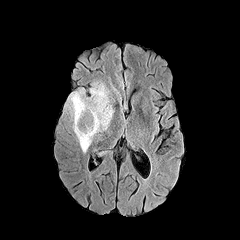
FLAIR magnetic resonance.
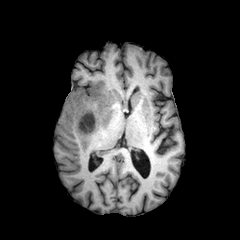
Same slice, T1-weighted magnetic resonance.
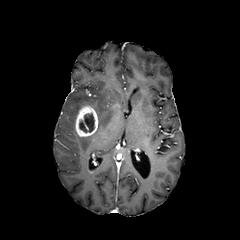
Post-contrast T1-weighted magnetic resonance of the same slice.
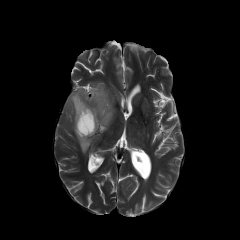
T2-weighted magnetic resonance of the same slice.
Axial slice.
Annotated regions:
• necrotic tumor core: {"x1": 79, "y1": 114, "x2": 94, "y2": 132}
• peritumoral edema: {"x1": 66, "y1": 83, "x2": 113, "y2": 152}
• enhancing tumor: {"x1": 75, "y1": 105, "x2": 97, "y2": 136}